Brain
FLAIR MR image.
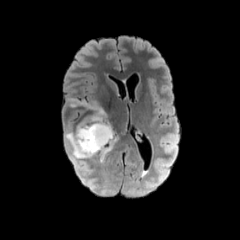
T1-weighted MR.
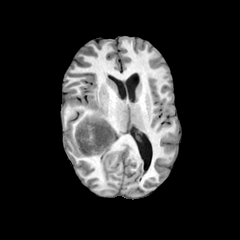
Post-contrast T1-weighted magnetic resonance.
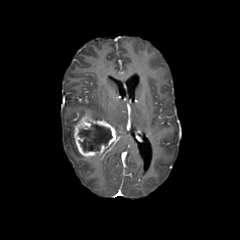
T2-weighted MR.
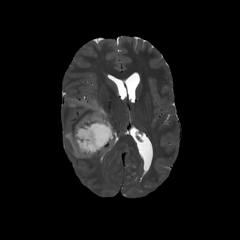
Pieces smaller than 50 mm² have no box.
Findings:
• necrotic tumor core: 78, 124, 112, 151
• peritumoral edema: 83, 102, 106, 119; 66, 133, 84, 158
• enhancing tumor: 74, 115, 116, 157